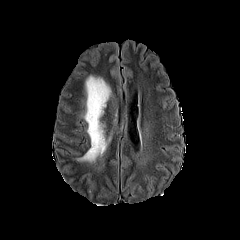
FLAIR MR.
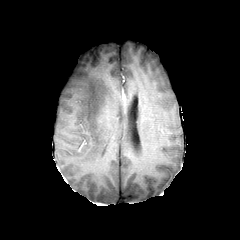
T1-weighted MR image of the same slice.
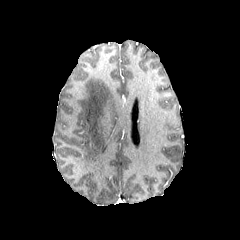
Same slice, post-contrast T1-weighted MRI.
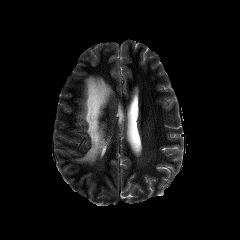
Same slice, T2-weighted MRI.
Image size 240x240. Head. Axial view.
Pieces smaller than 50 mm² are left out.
Findings:
* peritumoral edema: (x1=78, y1=75, x2=110, y2=162)